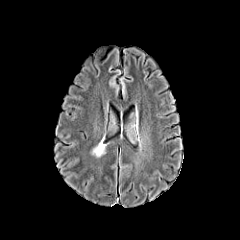
FLAIR magnetic resonance.
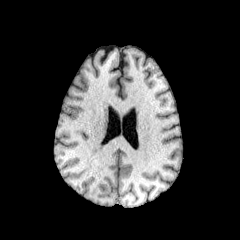
T1-weighted MRI.
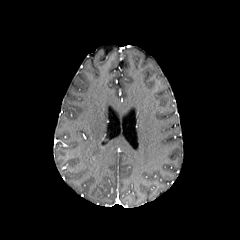
Post-contrast T1-weighted MRI.
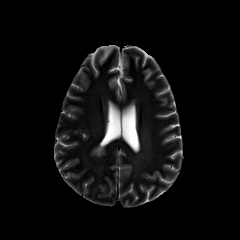
T2-weighted MR image of the same slice.
Axial plane; Brain
The peritumoral edema appears at (left=92, top=140, right=105, bottom=156).